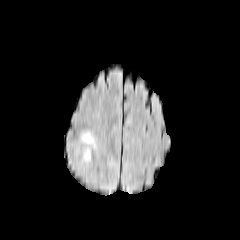
FLAIR MRI.
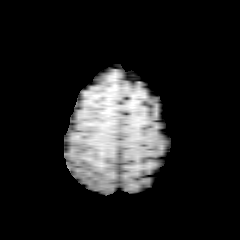
T1-weighted MRI.
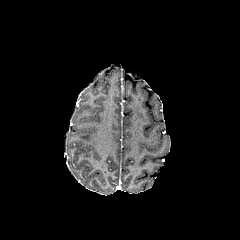
Post-contrast T1-weighted magnetic resonance of the same slice.
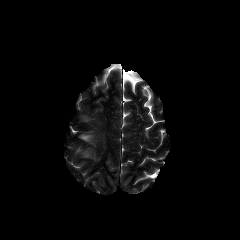
T2-weighted MRI.
Head | Axial view | 240x240
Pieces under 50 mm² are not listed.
- peritumoral edema: 82:133:94:145